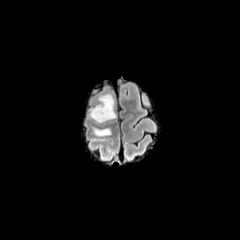
FLAIR MRI.
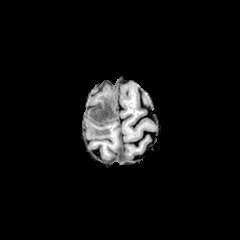
Same slice, T1-weighted magnetic resonance.
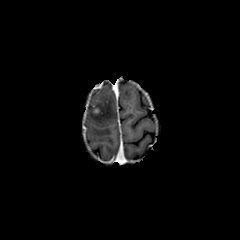
Same slice, post-contrast T1-weighted magnetic resonance.
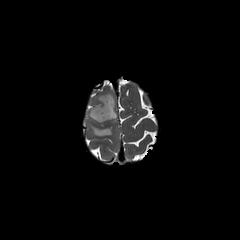
Same slice, T2-weighted MR.
Head. Axial view.
{"peritumoral_edema": ["88, 124, 111, 136", "88, 93, 116, 124"], "enhancing_tumor": ["92, 106, 99, 114"]}